Slice 129 of 155 | Brain
FLAIR MRI.
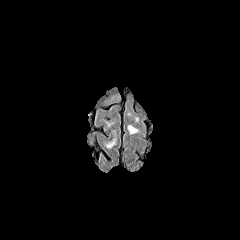
T1-weighted MR.
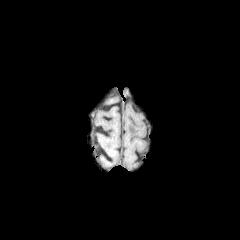
Post-contrast T1-weighted magnetic resonance.
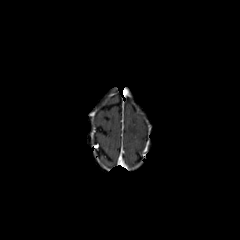
T2-weighted MR.
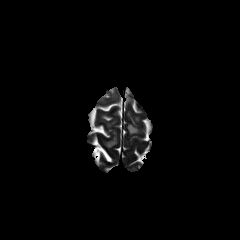
Findings:
- peritumoral edema: 128 125 137 133